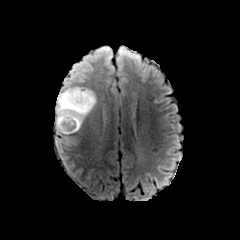
FLAIR MR image.
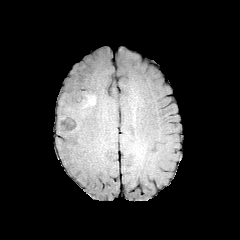
T1-weighted MR of the same slice.
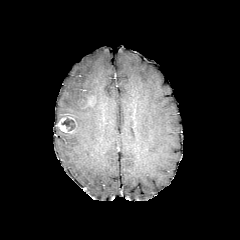
Post-contrast T1-weighted MRI.
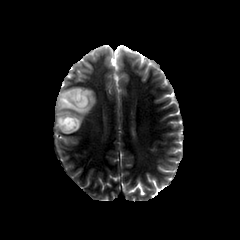
T2-weighted MR.
240x240 | Axial plane
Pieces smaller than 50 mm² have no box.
Findings:
• peritumoral edema: bbox(55, 84, 97, 136)
• enhancing tumor: bbox(56, 114, 76, 133)
• necrotic tumor core: bbox(62, 118, 76, 130)